FLAIR MR.
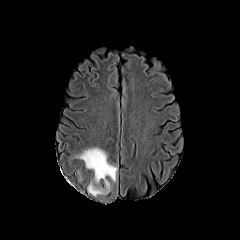
T1-weighted magnetic resonance.
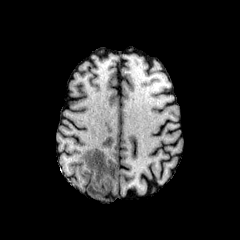
Post-contrast T1-weighted MR.
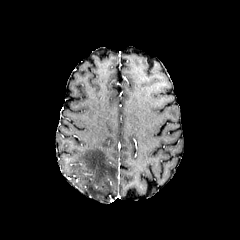
T2-weighted MR.
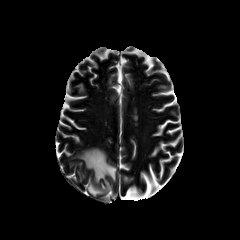
Brain | 240x240 px
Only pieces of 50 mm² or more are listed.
peritumoral edema: rect(75, 147, 118, 196)